Axial slice. Image size 240x240.
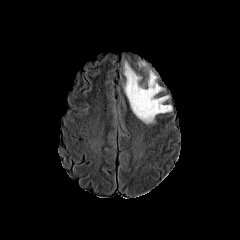
FLAIR MR image.
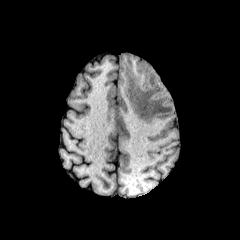
T1-weighted MR image.
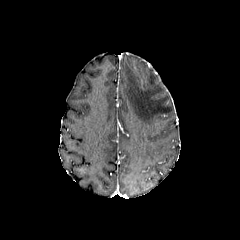
Same slice, post-contrast T1-weighted MRI.
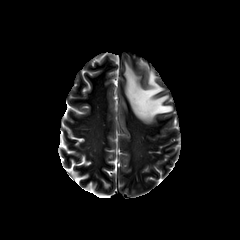
T2-weighted MR of the same slice.
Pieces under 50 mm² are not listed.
Findings:
- peritumoral edema: bbox(124, 62, 172, 124)